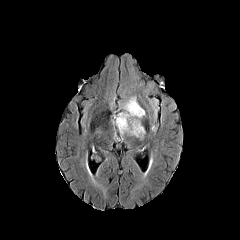
FLAIR magnetic resonance.
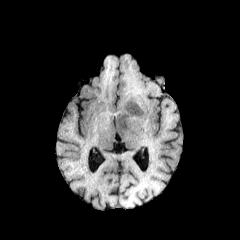
T1-weighted magnetic resonance.
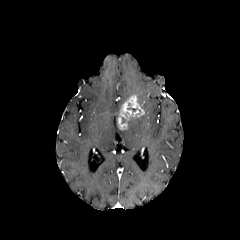
Same slice, post-contrast T1-weighted MRI.
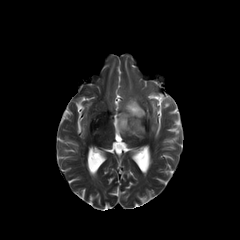
T2-weighted MR image of the same slice.
Axial plane; Brain
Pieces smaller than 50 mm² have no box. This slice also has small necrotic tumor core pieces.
peritumoral_edema:
  - (119,116,144,138)
enhancing_tumor:
  - (117,95,144,130)